FLAIR MRI.
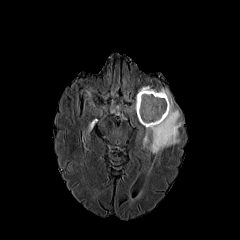
T1-weighted MRI.
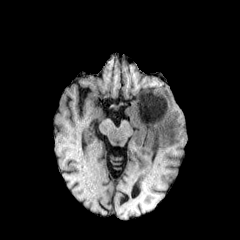
Post-contrast T1-weighted MRI.
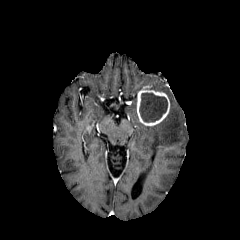
T2-weighted MR.
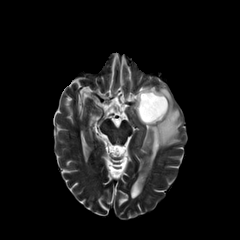
240x240. Axial plane. Brain.
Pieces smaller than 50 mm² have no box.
The necrotic tumor core is at 139 93 167 122. The largest peritumoral edema region lies within 143 88 182 154. The enhancing tumor lies within 136 86 169 126.